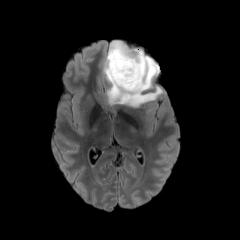
FLAIR MR.
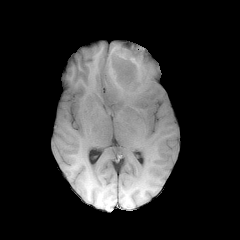
Same slice, T1-weighted MRI.
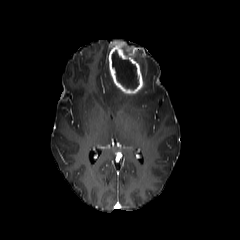
Post-contrast T1-weighted MRI.
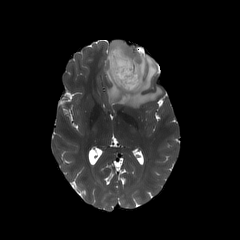
T2-weighted MRI.
Image size 240x240. Axial view.
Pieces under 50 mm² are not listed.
Segmented structures:
* peritumoral edema: l=103, t=48, r=163, b=107
* enhancing tumor: l=108, t=41, r=144, b=94
* necrotic tumor core: l=111, t=50, r=138, b=89